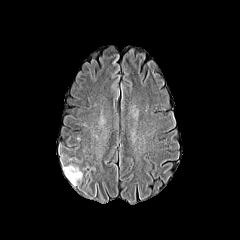
FLAIR MR image.
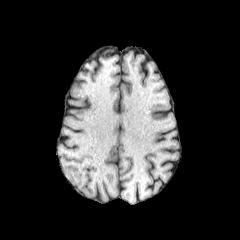
T1-weighted MR image.
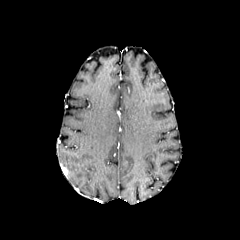
Post-contrast T1-weighted MR.
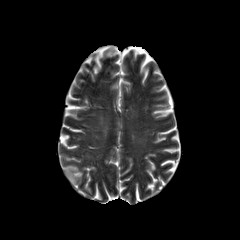
Same slice, T2-weighted MRI.
Axial slice. 240x240.
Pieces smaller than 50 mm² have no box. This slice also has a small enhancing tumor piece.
The peritumoral edema is located at box(63, 165, 82, 185).